Axial plane; Head
FLAIR MR.
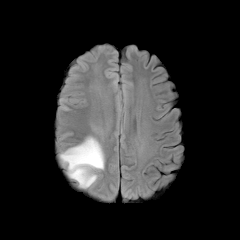
T1-weighted MR.
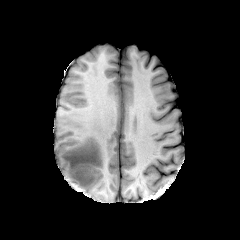
Post-contrast T1-weighted MRI.
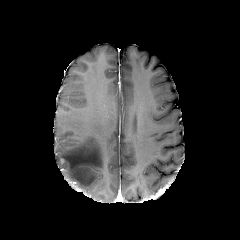
T2-weighted magnetic resonance.
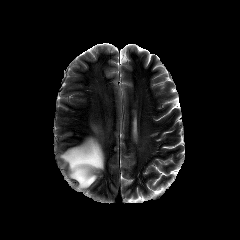
peritumoral edema: <box>60,136,104,188</box>